FLAIR MRI.
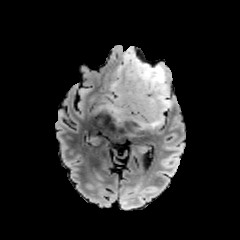
T1-weighted MRI.
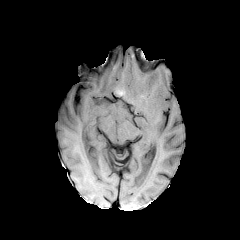
Post-contrast T1-weighted MR image.
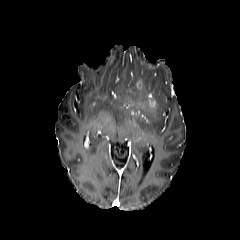
T2-weighted magnetic resonance.
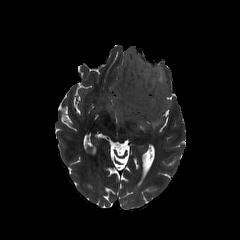
Brain; Axial slice
{
  "enhancing_tumor": [
    "(136, 80, 157, 106)"
  ],
  "peritumoral_edema": [
    "(111, 46, 170, 127)"
  ]
}